Axial view; Image width 240 mm
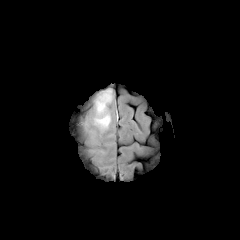
FLAIR magnetic resonance.
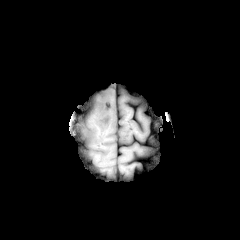
T1-weighted MR.
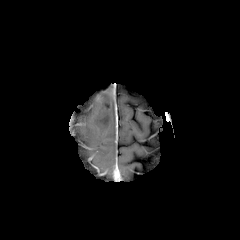
Post-contrast T1-weighted MR.
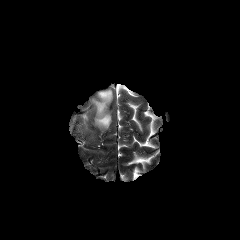
T2-weighted MRI.
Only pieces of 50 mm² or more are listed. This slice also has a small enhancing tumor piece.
peritumoral edema: x1=76 y1=88 x2=116 y2=130